Head | 240x240 px
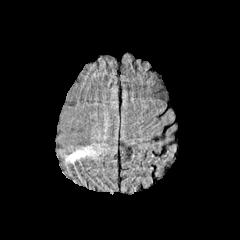
FLAIR MR.
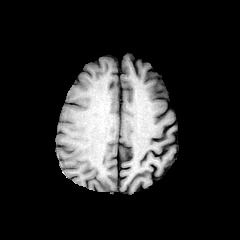
T1-weighted MR image.
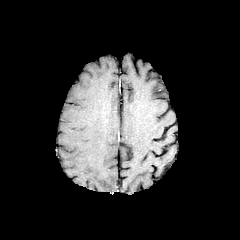
Post-contrast T1-weighted MR image.
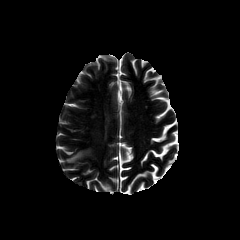
T2-weighted MRI.
peritumoral_edema:
  - (left=66, top=147, right=94, bottom=162)